FLAIR MR image.
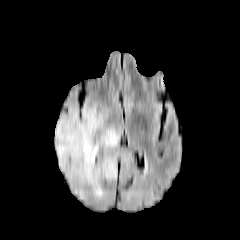
T1-weighted magnetic resonance.
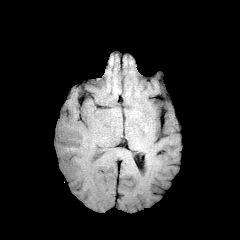
Post-contrast T1-weighted MRI.
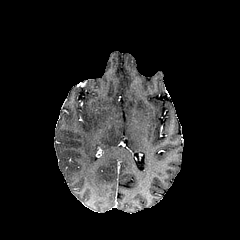
T2-weighted MR image.
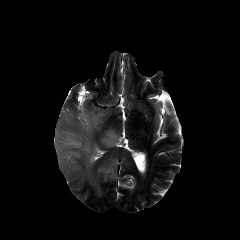
Image size 240x240. Head.
The peritumoral edema appears at x1=55 y1=103 x2=121 y2=199.